Slice 110 of 155. Axial plane.
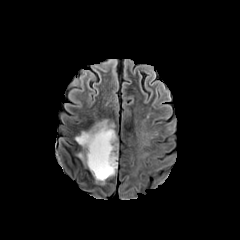
FLAIR MR.
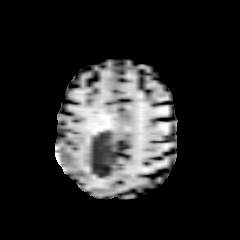
T1-weighted MR of the same slice.
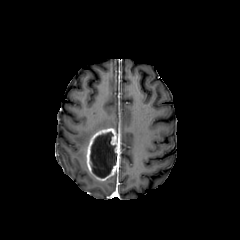
Same slice, post-contrast T1-weighted MR.
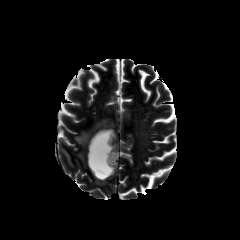
T2-weighted MR image.
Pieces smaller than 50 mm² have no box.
The necrotic tumor core is bounded by {"x1": 90, "y1": 132, "x2": 116, "y2": 178}. The enhancing tumor lies within {"x1": 86, "y1": 128, "x2": 119, "y2": 180}. The largest peritumoral edema region is located at {"x1": 75, "y1": 120, "x2": 114, "y2": 147}.